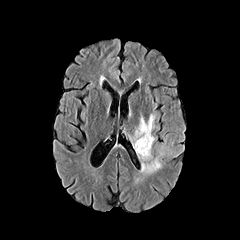
FLAIR MRI.
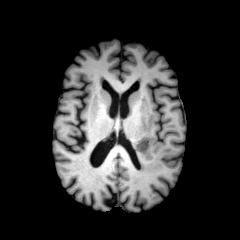
T1-weighted MR image.
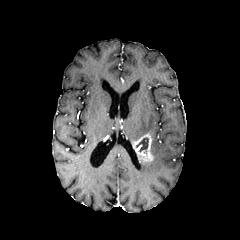
Post-contrast T1-weighted MR.
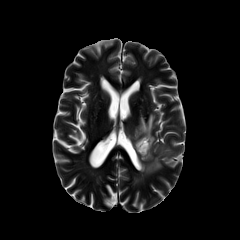
T2-weighted MRI of the same slice.
Head | Axial slice
necrotic tumor core: box=[136, 137, 148, 151]
enhancing tumor: box=[132, 133, 153, 161]
peritumoral edema: box=[130, 111, 157, 150]; box=[141, 151, 164, 177]